FLAIR MRI.
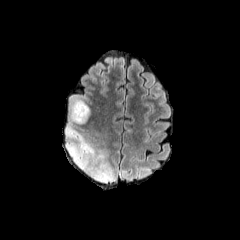
T1-weighted magnetic resonance.
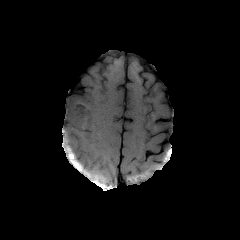
Post-contrast T1-weighted MR image.
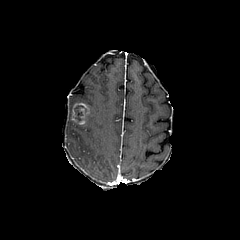
T2-weighted magnetic resonance.
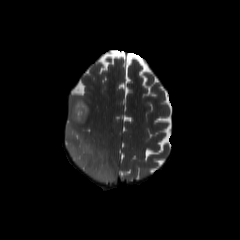
240x240
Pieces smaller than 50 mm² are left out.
Findings:
* peritumoral edema: region(65, 97, 114, 182)
* enhancing tumor: region(72, 102, 89, 124)
* necrotic tumor core: region(74, 105, 83, 120)